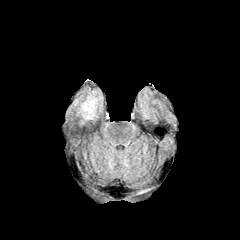
FLAIR MR image.
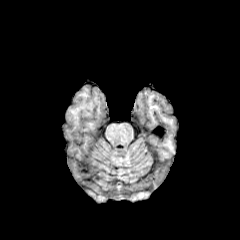
T1-weighted MR image.
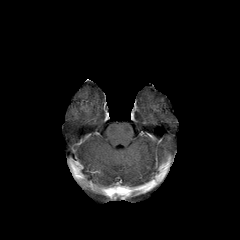
Same slice, post-contrast T1-weighted magnetic resonance.
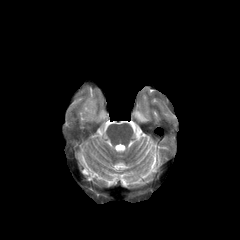
T2-weighted MR image.
Head | Axial view
The peritumoral edema appears at region(73, 91, 102, 123).